240x240 | Axial slice
FLAIR magnetic resonance.
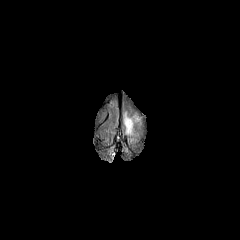
T1-weighted MRI.
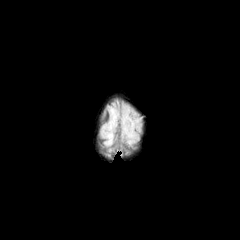
Post-contrast T1-weighted MRI.
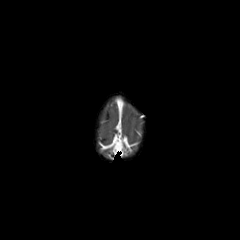
T2-weighted magnetic resonance.
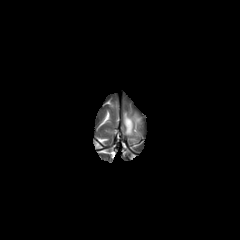
peritumoral edema = [124,114,132,134]